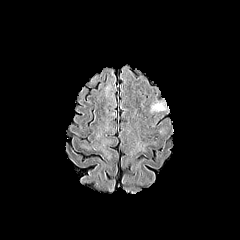
FLAIR MR image.
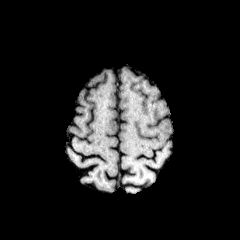
T1-weighted magnetic resonance.
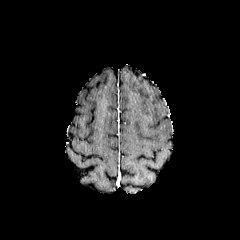
Post-contrast T1-weighted MRI of the same slice.
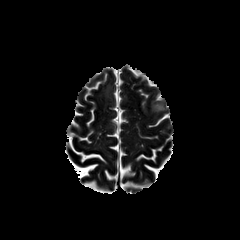
Same slice, T2-weighted magnetic resonance.
Axial slice, 240x240
peritumoral edema at (left=151, top=102, right=165, bottom=111)